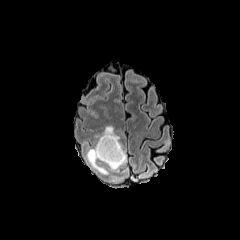
FLAIR MR.
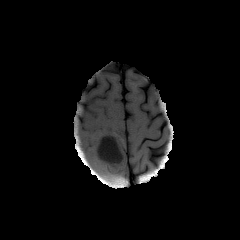
T1-weighted MRI.
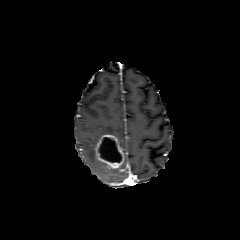
Post-contrast T1-weighted MR.
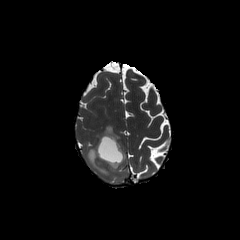
T2-weighted MRI of the same slice.
Axial view | 240x240 px
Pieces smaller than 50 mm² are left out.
The necrotic tumor core is bounded by [98, 137, 121, 162]. The 2 largest peritumoral edema regions appear at [86, 146, 127, 174], [95, 125, 119, 141]. The enhancing tumor lies within [95, 134, 125, 168].